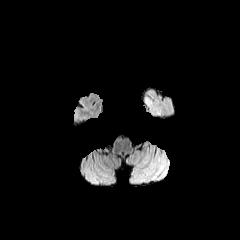
FLAIR MR image.
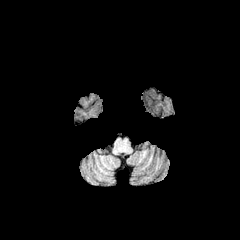
Same slice, T1-weighted MRI.
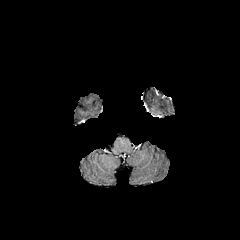
Post-contrast T1-weighted MRI.
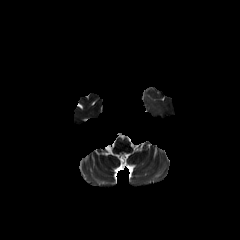
T2-weighted MRI.
Axial slice
peritumoral edema = (143,98,160,116)